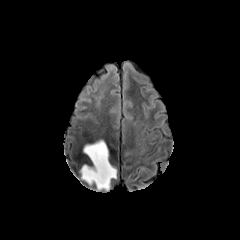
FLAIR MRI.
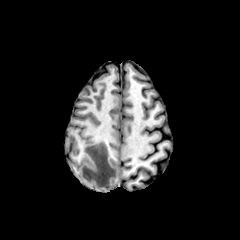
T1-weighted MRI.
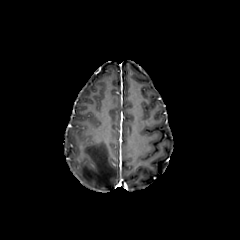
Post-contrast T1-weighted MR image.
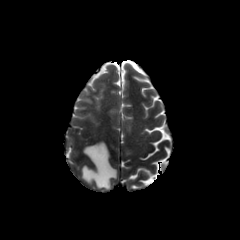
T2-weighted MRI of the same slice.
Axial plane
<segmentation>
  <peritumoral_edema>rect(81, 141, 116, 190)</peritumoral_edema>
</segmentation>